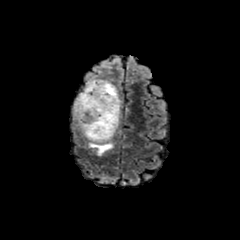
FLAIR magnetic resonance.
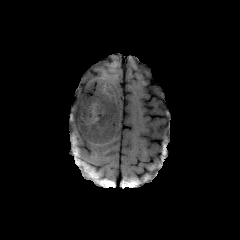
T1-weighted MR.
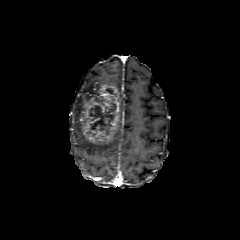
Post-contrast T1-weighted magnetic resonance.
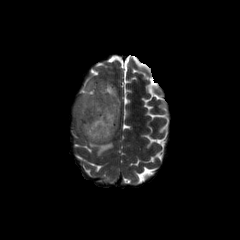
T2-weighted MR image.
Brain.
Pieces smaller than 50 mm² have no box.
enhancing tumor — {"x1": 79, "y1": 83, "x2": 120, "y2": 142}
necrotic tumor core — {"x1": 89, "y1": 103, "x2": 116, "y2": 134}
peritumoral edema — {"x1": 76, "y1": 80, "x2": 110, "y2": 129}, {"x1": 88, "y1": 139, "x2": 113, "y2": 155}